FLAIR MRI.
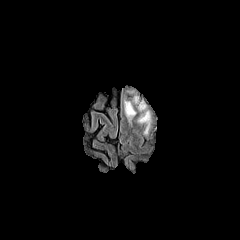
T1-weighted MR image.
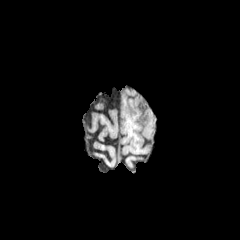
Post-contrast T1-weighted MR image.
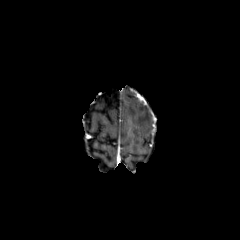
T2-weighted MRI.
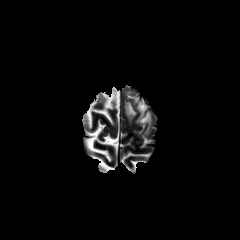
Head.
3 peritumoral edema regions are located at [124, 101, 136, 121], [133, 97, 146, 111], [137, 111, 151, 134].